FLAIR MRI.
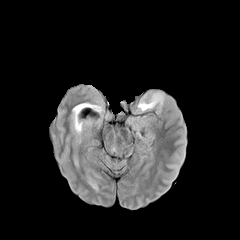
T1-weighted magnetic resonance.
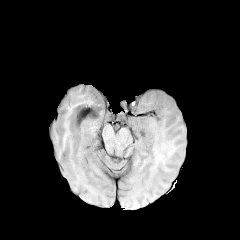
Post-contrast T1-weighted MR image.
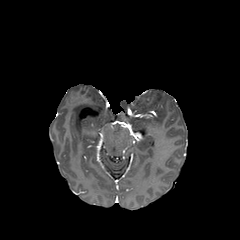
T2-weighted MR image.
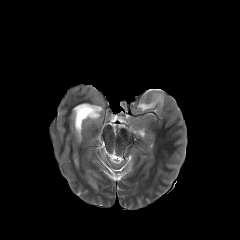
Image size 240x240
peritumoral edema: bbox(138, 93, 163, 110)